FLAIR magnetic resonance.
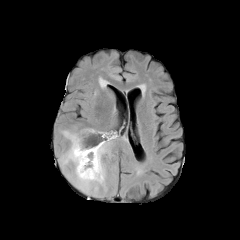
T1-weighted MR image.
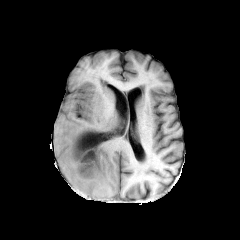
Post-contrast T1-weighted magnetic resonance.
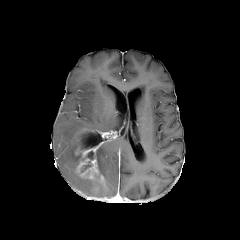
T2-weighted magnetic resonance.
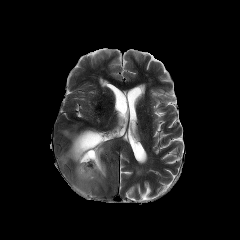
Axial plane. Brain. Image size 240x240.
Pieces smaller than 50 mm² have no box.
necrotic tumor core: bounding box [78,131,102,149], [86,151,93,159]
peritumoral edema: bounding box [60,130,104,193], [97,141,111,178]
enhancing tumor: bounding box [75,129,105,184]